Head; Axial view; Image width 240 mm, 1.00 mm slice spacing
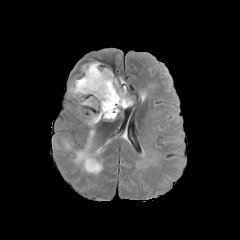
FLAIR MR image.
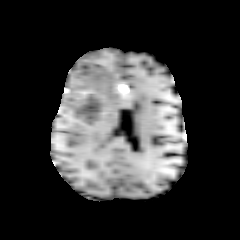
T1-weighted magnetic resonance.
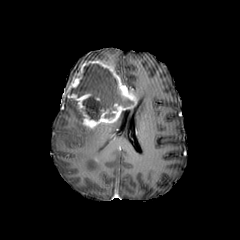
Post-contrast T1-weighted MR of the same slice.
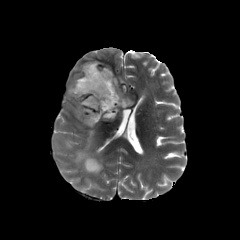
Same slice, T2-weighted MR image.
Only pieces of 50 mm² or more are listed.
enhancing tumor — (66, 60, 137, 128)
peritumoral edema — (73, 128, 102, 173), (61, 139, 71, 149)
necrotic tumor core — (69, 64, 132, 120), (87, 159, 96, 168)